Axial slice
FLAIR MR image.
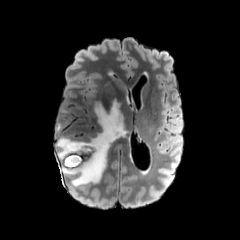
T1-weighted MR image.
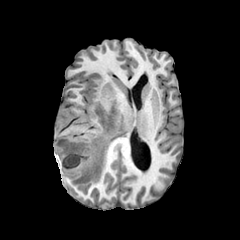
Post-contrast T1-weighted magnetic resonance.
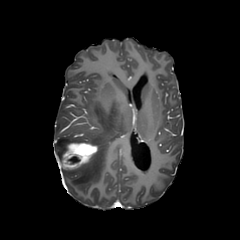
T2-weighted MRI.
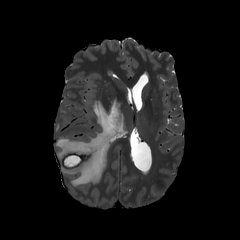
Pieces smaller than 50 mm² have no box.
The necrotic tumor core lies within 67 156 80 163. The 2 largest peritumoral edema regions appear at 55 136 85 160, 62 99 125 187. The enhancing tumor appears at 62 142 97 169.